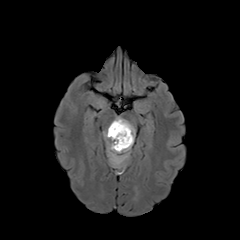
FLAIR MRI.
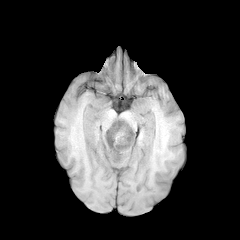
T1-weighted magnetic resonance.
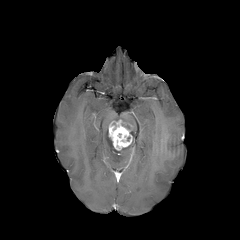
Post-contrast T1-weighted MR image.
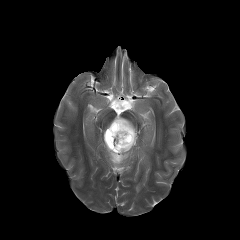
T2-weighted MR image of the same slice.
Head; Axial view; 240x240 px
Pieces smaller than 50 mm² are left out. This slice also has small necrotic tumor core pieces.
- peritumoral edema: bbox=[113, 116, 135, 141]; bbox=[103, 128, 133, 168]
- enhancing tumor: bbox=[108, 119, 133, 150]